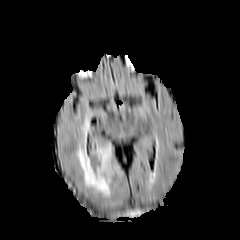
FLAIR MRI.
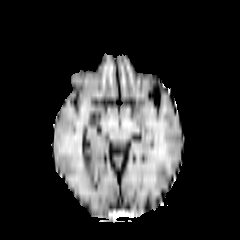
T1-weighted MR image.
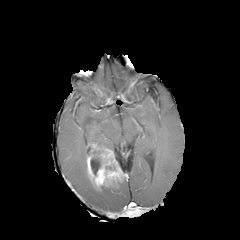
Post-contrast T1-weighted magnetic resonance of the same slice.
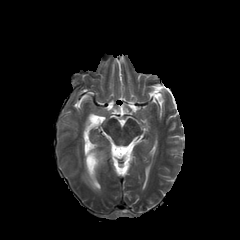
T2-weighted magnetic resonance of the same slice.
Head, Axial view
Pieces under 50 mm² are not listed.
enhancing_tumor:
  - region(86, 144, 123, 189)
necrotic_tumor_core:
  - region(91, 159, 100, 175)
peritumoral_edema:
  - region(77, 146, 110, 195)
  - region(93, 141, 112, 149)